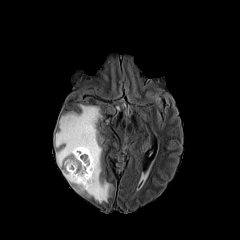
FLAIR MR image.
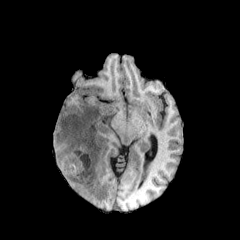
T1-weighted MRI of the same slice.
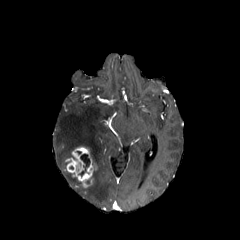
Same slice, post-contrast T1-weighted magnetic resonance.
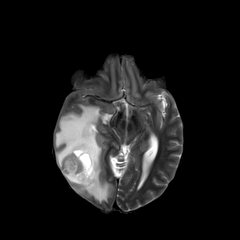
Same slice, T2-weighted magnetic resonance.
Axial plane. Head.
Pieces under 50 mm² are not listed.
enhancing tumor = x1=65, y1=147, x2=96, y2=187
necrotic tumor core = x1=78, y1=154, x2=90, y2=176
peritumoral edema = x1=54, y1=104, x2=111, y2=202